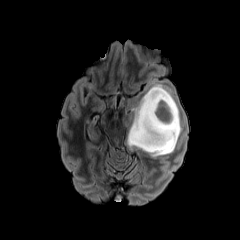
FLAIR magnetic resonance.
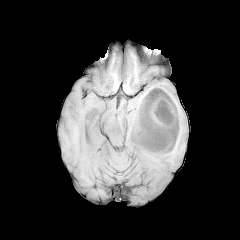
T1-weighted magnetic resonance of the same slice.
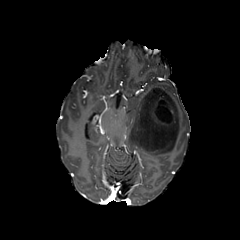
Same slice, post-contrast T1-weighted MR image.
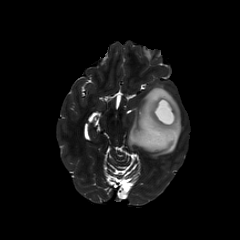
T2-weighted MR image of the same slice.
Axial view
The enhancing tumor is located at [149,97,175,126]. The peritumoral edema is at [127,84,182,157]. The necrotic tumor core is bounded by [154,100,172,123].